Head, Slice 78/155, Image size 240x240
FLAIR MRI.
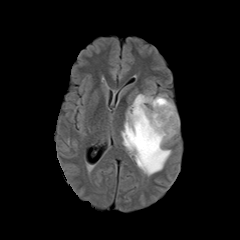
T1-weighted MRI.
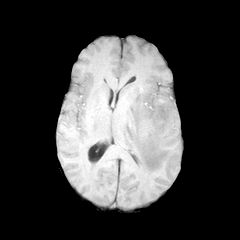
Post-contrast T1-weighted magnetic resonance.
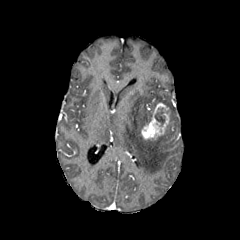
T2-weighted MR image.
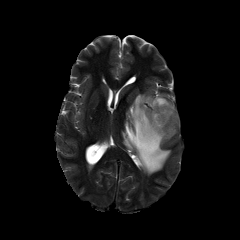
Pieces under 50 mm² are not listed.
<segmentation>
  <peritumoral_edema>121:87:179:175</peritumoral_edema>
  <necrotic_tumor_core>155:108:164:126</necrotic_tumor_core>
  <enhancing_tumor>141:103:170:139</enhancing_tumor>
</segmentation>